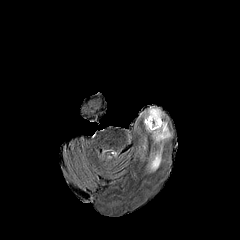
FLAIR MR image.
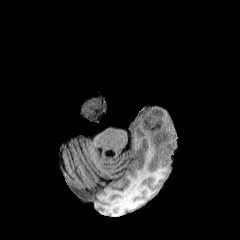
T1-weighted magnetic resonance.
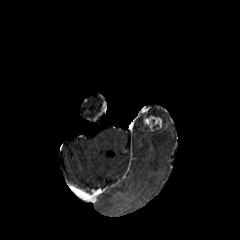
Same slice, post-contrast T1-weighted MRI.
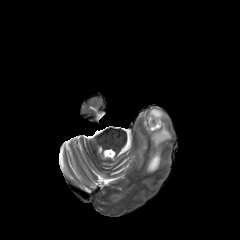
T2-weighted MR image of the same slice.
Head
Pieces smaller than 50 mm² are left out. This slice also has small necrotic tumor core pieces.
The 2 largest peritumoral edema regions appear at box=[145, 108, 164, 118]; box=[148, 121, 171, 171]. The enhancing tumor appears at box=[143, 115, 162, 131].